FLAIR MRI.
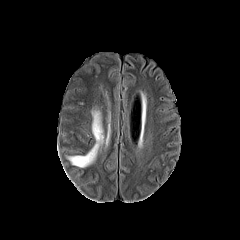
T1-weighted MR image.
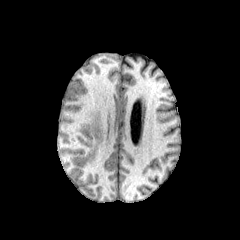
Post-contrast T1-weighted MR image.
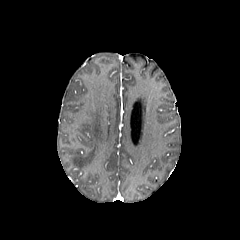
T2-weighted MR image.
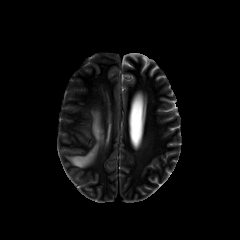
240x240; Axial view
2 peritumoral edema regions appear at (x1=64, y1=109, x2=103, y2=167), (x1=105, y1=106, x2=111, y2=146).